Head; Image size 240x240; Slice index 110
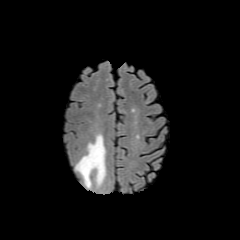
FLAIR MRI.
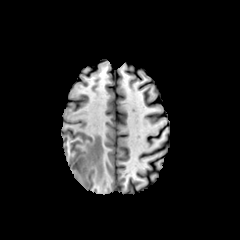
Same slice, T1-weighted MR image.
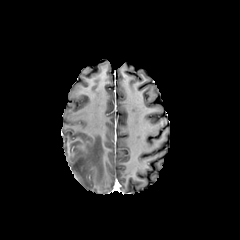
Post-contrast T1-weighted MR of the same slice.
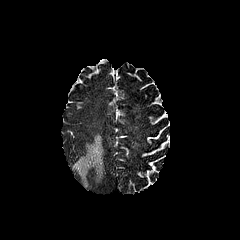
T2-weighted magnetic resonance.
<segmentation>
  <peritumoral_edema>[75,134,105,188]</peritumoral_edema>
</segmentation>